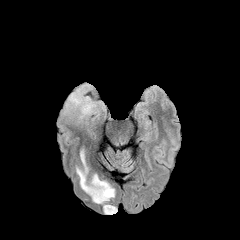
FLAIR MR image.
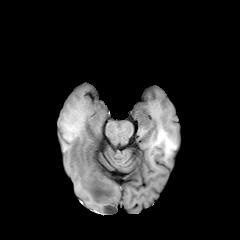
T1-weighted MR.
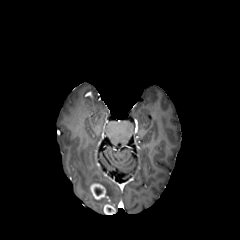
Post-contrast T1-weighted MRI of the same slice.
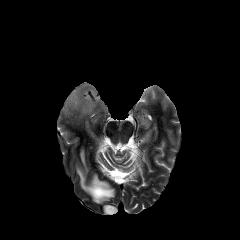
T2-weighted MRI.
Brain
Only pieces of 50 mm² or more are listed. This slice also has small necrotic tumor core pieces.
peritumoral edema = <bbox>76, 149, 114, 203</bbox>, <bbox>64, 84, 100, 130</bbox>
enhancing tumor = <bbox>90, 183, 107, 199</bbox>, <bbox>103, 204, 115, 214</bbox>